FLAIR magnetic resonance.
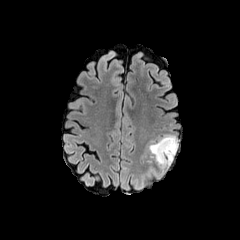
T1-weighted MRI.
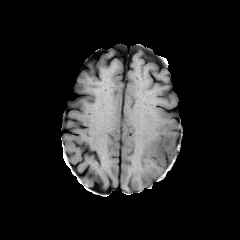
Post-contrast T1-weighted magnetic resonance.
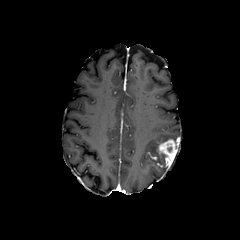
T2-weighted magnetic resonance.
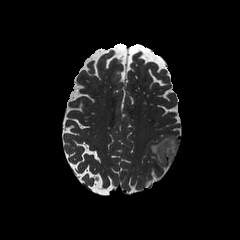
Head
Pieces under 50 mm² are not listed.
The largest enhancing tumor region is at (157,139,177,167). The largest peritumoral edema region lies within (149,135,177,164).